FLAIR MR.
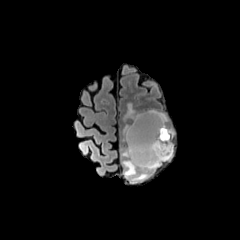
T1-weighted MRI.
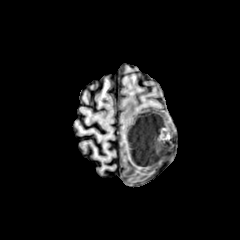
Post-contrast T1-weighted MR image.
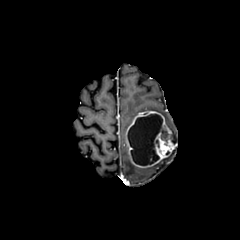
T2-weighted MR.
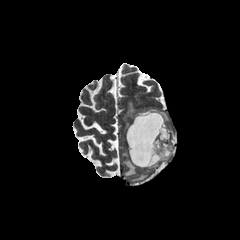
Head, Axial plane
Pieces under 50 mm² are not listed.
<segmentation>
  <necrotic_tumor_core><box>127,114,169,165</box></necrotic_tumor_core>
  <peritumoral_edema><box>122,149,172,183</box>, <box>124,103,136,119</box></peritumoral_edema>
  <enhancing_tumor><box>125,111,174,167</box></enhancing_tumor>
</segmentation>